240x240, Head
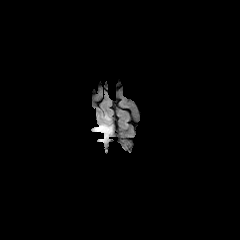
FLAIR magnetic resonance.
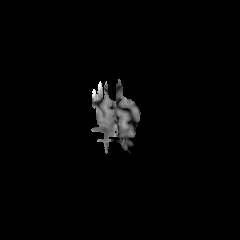
T1-weighted MR image.
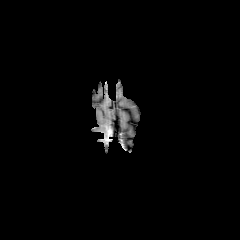
Post-contrast T1-weighted MR image.
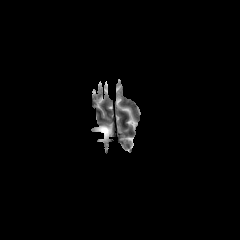
T2-weighted magnetic resonance of the same slice.
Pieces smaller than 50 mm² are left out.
peritumoral edema: 92,114,112,131 | enhancing tumor: 99,125,112,142